240x240 | Image width 240 mm, 1.00 mm slice spacing
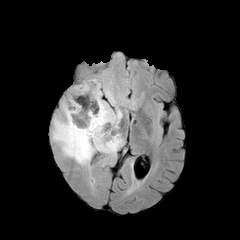
FLAIR MRI.
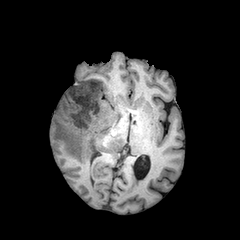
T1-weighted MRI.
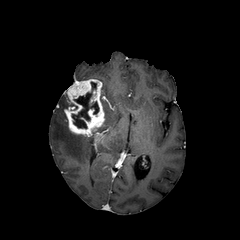
Same slice, post-contrast T1-weighted MR image.
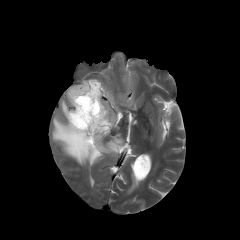
T2-weighted MRI.
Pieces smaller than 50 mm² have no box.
enhancing tumor at x1=64 y1=79 x2=104 y2=136
peritumoral edema at x1=52 y1=84 x2=123 y2=165
necrotic tumor core at x1=72 y1=92 x2=98 y2=128